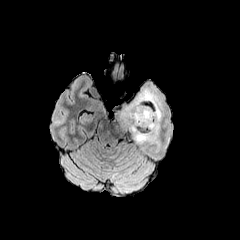
FLAIR magnetic resonance.
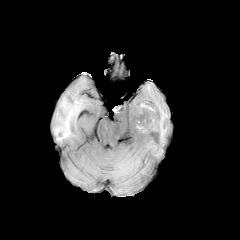
T1-weighted MR.
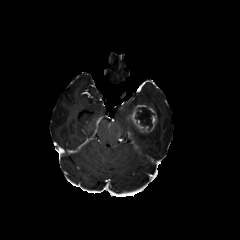
Same slice, post-contrast T1-weighted MR.
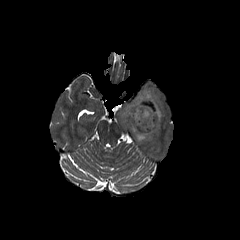
T2-weighted MR image.
240x240 | Brain | Axial plane
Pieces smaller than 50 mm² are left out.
peritumoral edema = {"x1": 122, "y1": 89, "x2": 161, "y2": 143}
enhancing tumor = {"x1": 127, "y1": 104, "x2": 157, "y2": 133}
necrotic tumor core = {"x1": 135, "y1": 107, "x2": 154, "y2": 130}